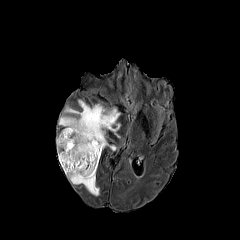
FLAIR MRI.
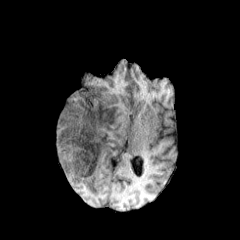
T1-weighted MR of the same slice.
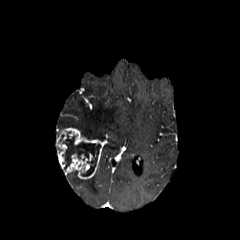
Same slice, post-contrast T1-weighted magnetic resonance.
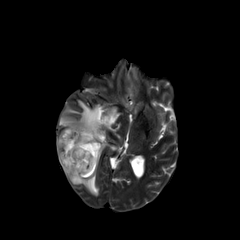
T2-weighted MR image.
Head | Image size 240x240
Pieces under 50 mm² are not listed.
* peritumoral edema: 103, 143, 116, 151; 59, 98, 121, 141; 67, 171, 100, 195
* enhancing tumor: 56, 127, 106, 179
* necrotic tumor core: 62, 131, 100, 176